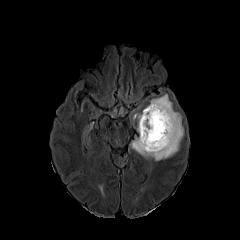
FLAIR MRI.
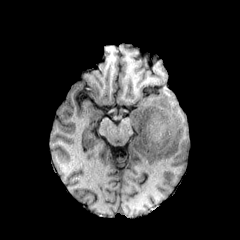
Same slice, T1-weighted MRI.
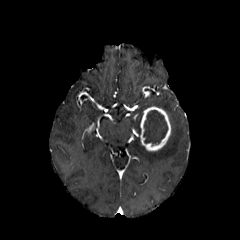
Post-contrast T1-weighted magnetic resonance of the same slice.
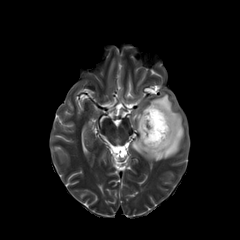
T2-weighted MR image.
Brain. Axial slice.
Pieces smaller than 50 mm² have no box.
{"necrotic_tumor_core": ["bbox=[143, 110, 167, 144]"], "enhancing_tumor": ["bbox=[140, 106, 171, 151]"], "peritumoral_edema": ["bbox=[130, 87, 184, 161]"]}